FLAIR MR image.
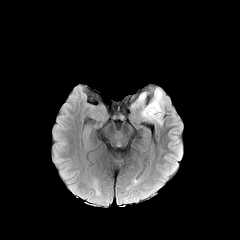
T1-weighted MR image.
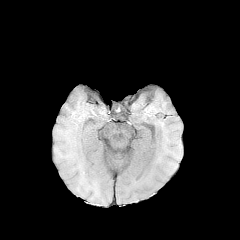
Post-contrast T1-weighted MRI.
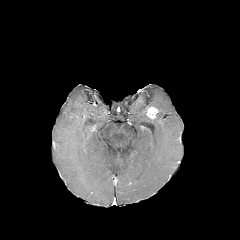
T2-weighted MRI.
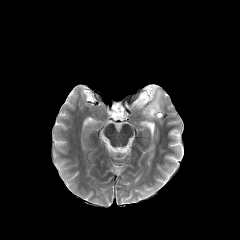
Brain
The peritumoral edema lies within {"x1": 131, "y1": 88, "x2": 165, "y2": 124}. The enhancing tumor is bounded by {"x1": 145, "y1": 106, "x2": 158, "y2": 118}.